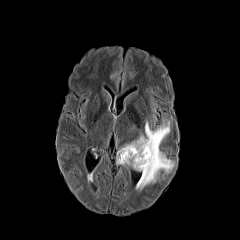
FLAIR MR.
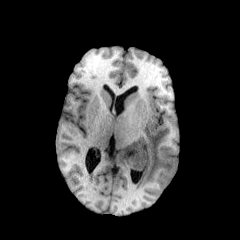
T1-weighted MR.
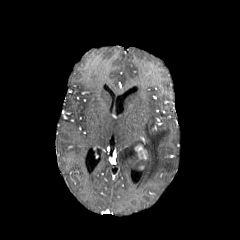
Post-contrast T1-weighted magnetic resonance of the same slice.
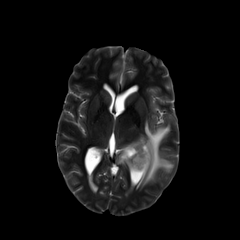
T2-weighted MR.
240x240 px.
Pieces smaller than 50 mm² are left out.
The largest enhancing tumor region lies within (134, 142, 147, 160). The peritumoral edema is located at (117, 121, 174, 189).